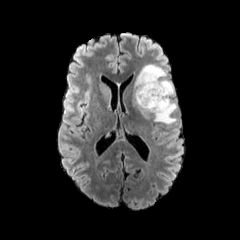
FLAIR MR image.
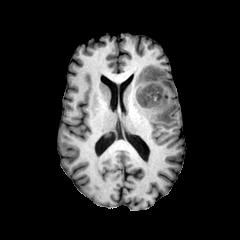
T1-weighted MRI of the same slice.
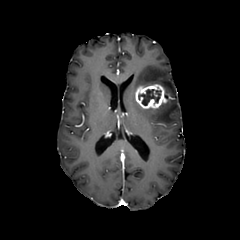
Post-contrast T1-weighted MR.
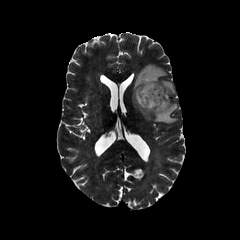
Same slice, T2-weighted MR.
Brain. Axial plane.
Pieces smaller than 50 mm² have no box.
enhancing tumor = (left=135, top=84, right=170, bottom=108)
necrotic tumor core = (left=138, top=89, right=161, bottom=105)
peritumoral edema = (left=132, top=64, right=177, bottom=123)